Slice 76 of 155, Brain
FLAIR magnetic resonance.
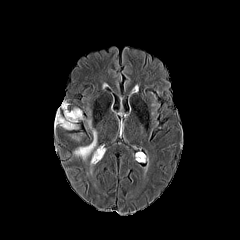
T1-weighted MRI.
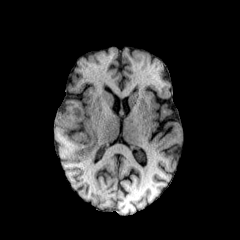
Post-contrast T1-weighted MR.
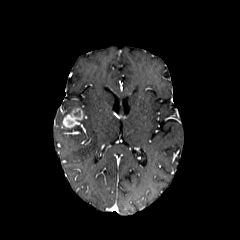
T2-weighted magnetic resonance.
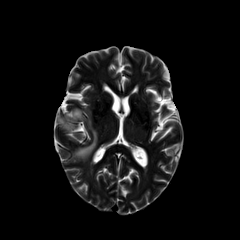
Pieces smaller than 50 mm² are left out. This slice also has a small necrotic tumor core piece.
{"enhancing_tumor": ["(x1=62, y1=108, x2=83, y2=128)"], "peritumoral_edema": ["(x1=62, y1=102, x2=70, y2=115)", "(x1=74, y1=120, x2=97, y2=159)", "(x1=55, y1=113, x2=63, y2=125)"]}